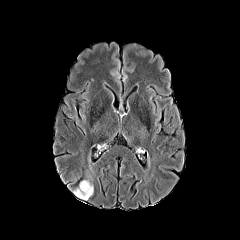
FLAIR MRI.
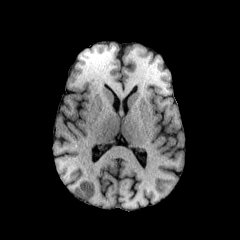
T1-weighted MR.
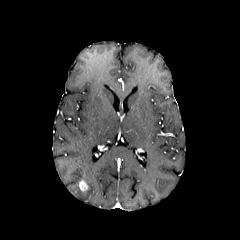
Same slice, post-contrast T1-weighted magnetic resonance.
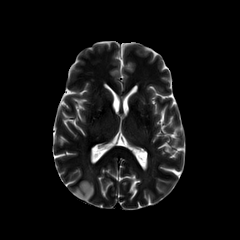
Same slice, T2-weighted MR.
240x240. Brain.
{
  "peritumoral_edema": [
    "box=[73, 180, 93, 199]"
  ],
  "enhancing_tumor": [
    "box=[79, 180, 88, 191]"
  ]
}